Head; Image size 240x240
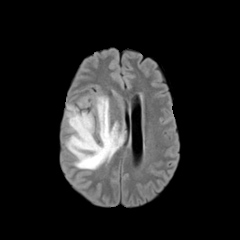
FLAIR MR image.
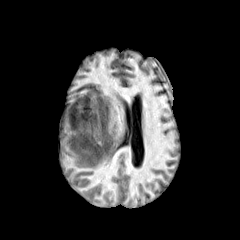
T1-weighted magnetic resonance.
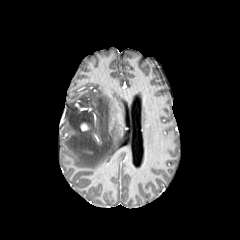
Post-contrast T1-weighted MR image of the same slice.
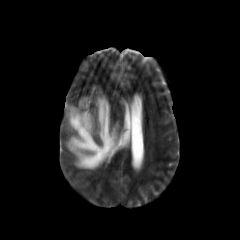
T2-weighted magnetic resonance.
{
  "peritumoral_edema": [
    "bbox(66, 96, 123, 169)",
    "bbox(79, 97, 87, 107)"
  ],
  "enhancing_tumor": [
    "bbox(81, 123, 88, 131)"
  ]
}